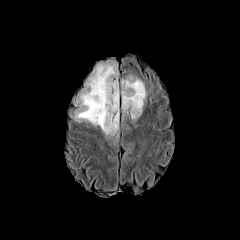
FLAIR MR.
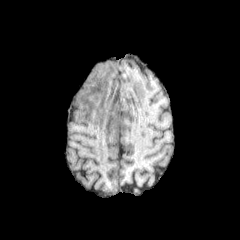
T1-weighted MR image.
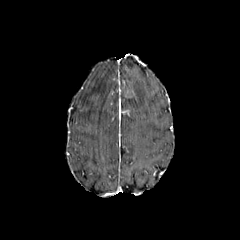
Post-contrast T1-weighted MR image.
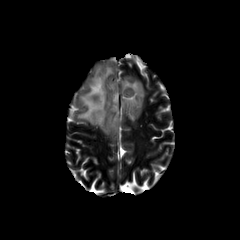
T2-weighted MR.
Head
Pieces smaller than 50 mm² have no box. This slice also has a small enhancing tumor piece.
peritumoral edema — 121 76 146 120, 74 60 118 135